FLAIR MRI.
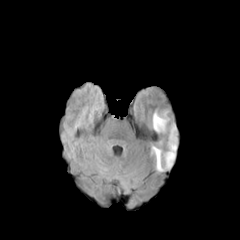
T1-weighted MR.
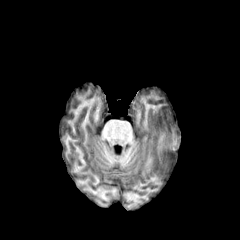
Post-contrast T1-weighted magnetic resonance.
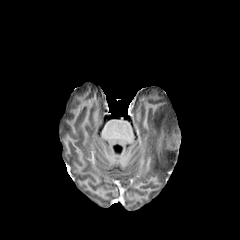
T2-weighted MR.
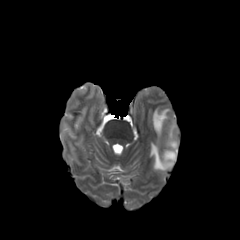
Axial plane | Brain
peritumoral edema: {"x1": 152, "y1": 110, "x2": 168, "y2": 133}, {"x1": 151, "y1": 123, "x2": 177, "y2": 171}